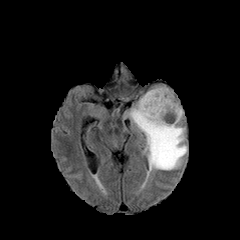
FLAIR MRI.
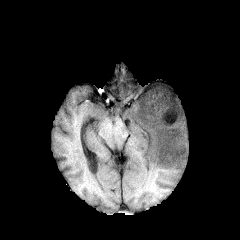
T1-weighted MR of the same slice.
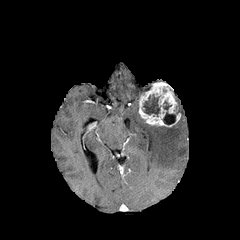
Post-contrast T1-weighted MR image of the same slice.
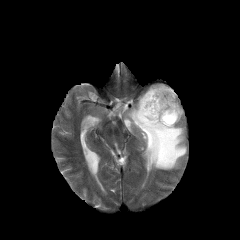
T2-weighted MR.
Brain
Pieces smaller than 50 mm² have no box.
enhancing tumor: bounding box {"x1": 138, "y1": 82, "x2": 181, "y2": 127}
peritumoral edema: bounding box {"x1": 125, "y1": 101, "x2": 187, "y2": 171}
necrotic tumor core: bounding box {"x1": 143, "y1": 94, "x2": 159, "y2": 116}, {"x1": 163, "y1": 112, "x2": 175, "y2": 124}